FLAIR MRI.
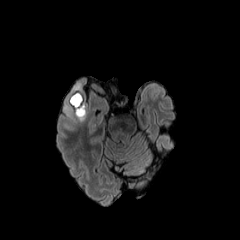
T1-weighted MR.
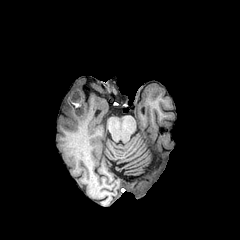
Post-contrast T1-weighted MR.
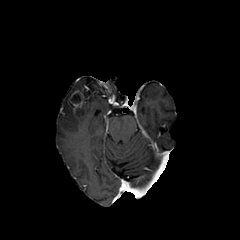
T2-weighted magnetic resonance.
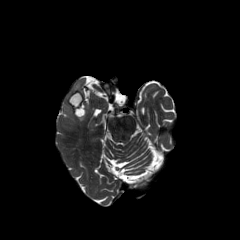
Axial slice
The necrotic tumor core appears at 71 93 80 103. The enhancing tumor is bounded by 69 90 83 111. 3 peritumoral edema regions are located at 75 103 86 121, 64 105 71 114, 72 83 80 91.